Brain.
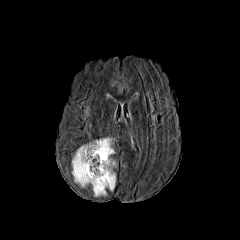
FLAIR MRI.
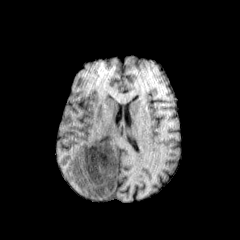
T1-weighted MR image.
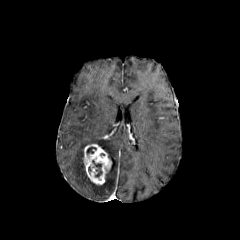
Post-contrast T1-weighted MR image of the same slice.
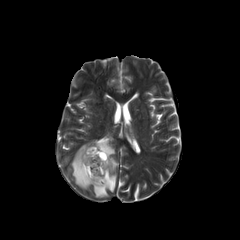
T2-weighted magnetic resonance of the same slice.
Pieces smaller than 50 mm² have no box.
enhancing_tumor:
  - rect(83, 144, 111, 184)
peritumoral_edema:
  - rect(71, 138, 116, 196)
necrotic_tumor_core:
  - rect(92, 160, 102, 176)